FLAIR MRI.
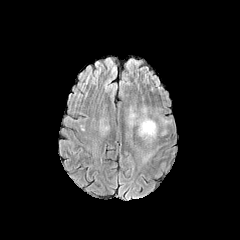
T1-weighted MR image.
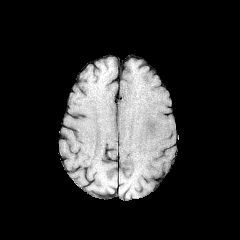
Post-contrast T1-weighted MR image.
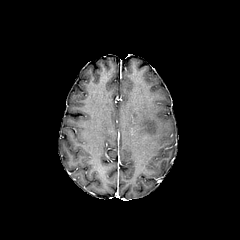
T2-weighted MR.
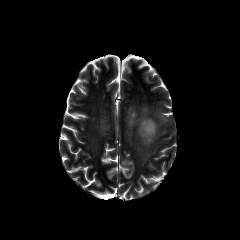
Axial view
peritumoral edema: bbox(129, 107, 157, 145)